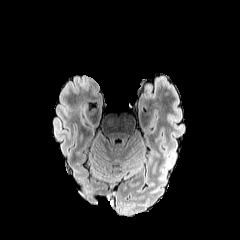
FLAIR MR.
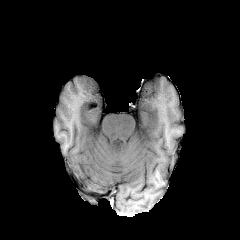
T1-weighted MR image.
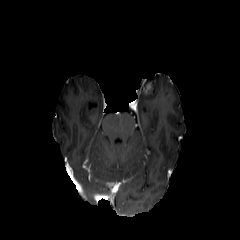
Post-contrast T1-weighted MR image of the same slice.
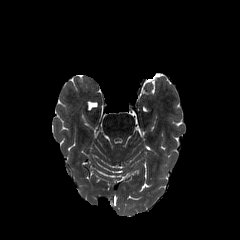
Same slice, T2-weighted MRI.
Axial slice
Segmented structures:
- enhancing tumor: box=[144, 81, 151, 93]